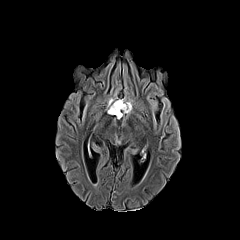
FLAIR MRI.
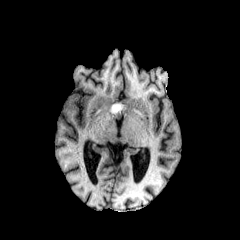
T1-weighted MRI.
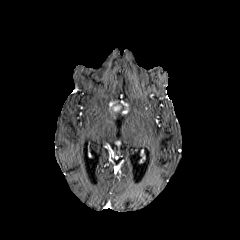
Same slice, post-contrast T1-weighted MRI.
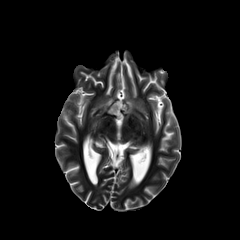
T2-weighted magnetic resonance.
Head.
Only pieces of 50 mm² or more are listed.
The necrotic tumor core is located at [111, 102, 124, 118]. The largest enhancing tumor region is located at [120, 100, 128, 115]. The largest peritumoral edema region lies within [122, 99, 132, 114].